Head. Slice 63 of 155. Axial plane.
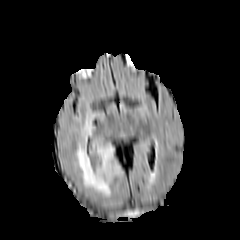
FLAIR magnetic resonance.
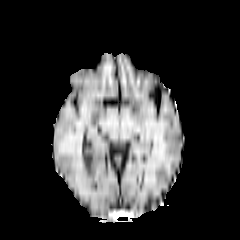
T1-weighted magnetic resonance.
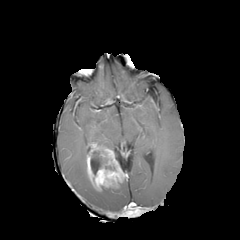
Post-contrast T1-weighted MR.
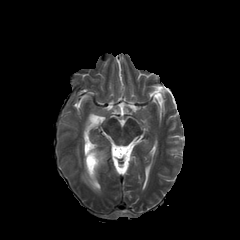
Same slice, T2-weighted magnetic resonance.
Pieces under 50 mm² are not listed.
necrotic tumor core: bounding box {"x1": 90, "y1": 159, "x2": 101, "y2": 175}
peritumoral edema: bounding box {"x1": 75, "y1": 126, "x2": 110, "y2": 195}
enhancing tumor: bounding box {"x1": 86, "y1": 143, "x2": 124, "y2": 190}